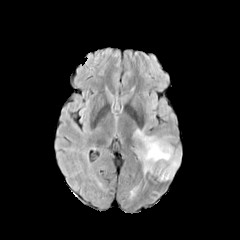
FLAIR MR image.
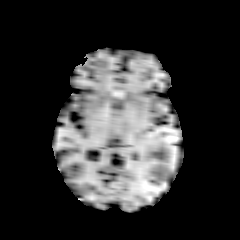
T1-weighted magnetic resonance.
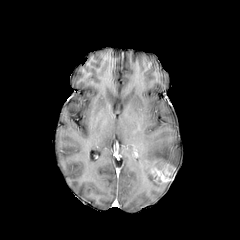
Post-contrast T1-weighted magnetic resonance.
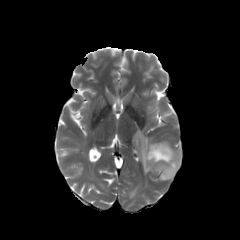
T2-weighted magnetic resonance of the same slice.
Image size 240x240, Brain, Axial view
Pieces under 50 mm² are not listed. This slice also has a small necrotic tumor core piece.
enhancing tumor at bbox=[150, 161, 175, 182]
peritumoral edema at bbox=[134, 129, 180, 173]